FLAIR magnetic resonance.
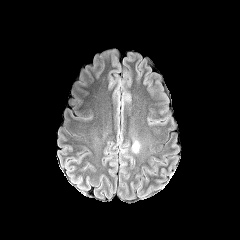
T1-weighted MR image.
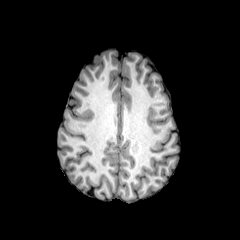
Post-contrast T1-weighted MRI.
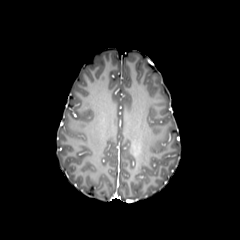
T2-weighted MRI.
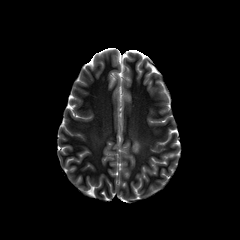
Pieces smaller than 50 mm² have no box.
Annotated regions:
• peritumoral edema: bbox=[130, 139, 141, 153]